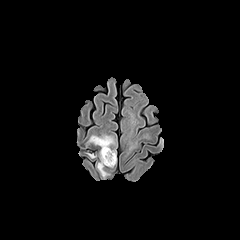
FLAIR MR.
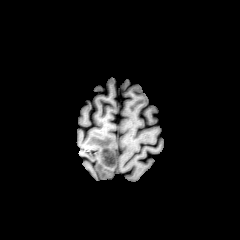
Same slice, T1-weighted MR.
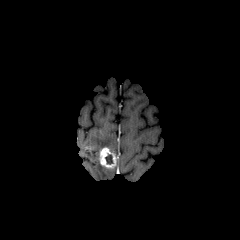
Post-contrast T1-weighted magnetic resonance.
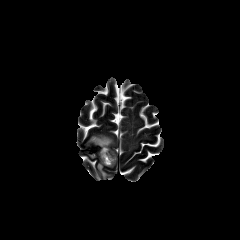
T2-weighted magnetic resonance.
Head
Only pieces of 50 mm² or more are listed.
necrotic tumor core — 105, 155, 112, 164
peritumoral edema — 87, 134, 114, 148; 97, 161, 109, 179
enhancing tumor — 99, 147, 116, 168